FLAIR MR.
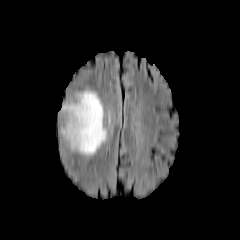
T1-weighted MRI.
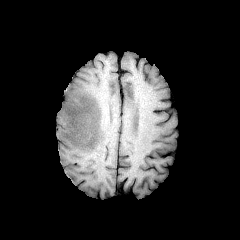
Post-contrast T1-weighted MR.
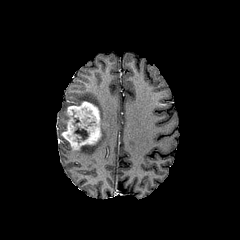
T2-weighted MRI.
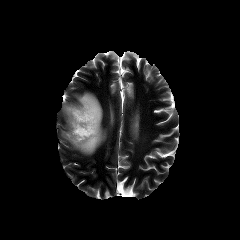
Head
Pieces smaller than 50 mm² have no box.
<segmentation>
  <necrotic_tumor_core>{"x1": 74, "y1": 127, "x2": 88, "y2": 140}</necrotic_tumor_core>
  <peritumoral_edema>{"x1": 61, "y1": 103, "x2": 75, "y2": 132}, {"x1": 75, "y1": 90, "x2": 107, "y2": 155}</peritumoral_edema>
  <enhancing_tumor>{"x1": 61, "y1": 101, "x2": 101, "y2": 150}</enhancing_tumor>
</segmentation>